Axial view; Image size 240x240; Image width 240 mm; Head; Slice 32/155
FLAIR MR image.
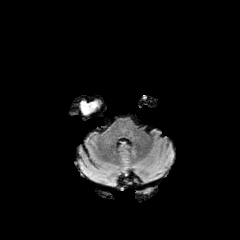
T1-weighted MR image.
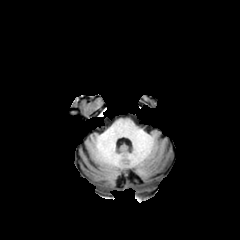
Post-contrast T1-weighted magnetic resonance.
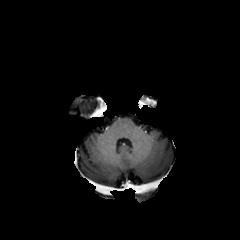
T2-weighted magnetic resonance.
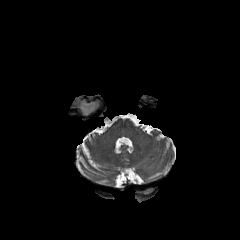
The peritumoral edema appears at x1=81 y1=101 x2=98 y2=114.